FLAIR MRI.
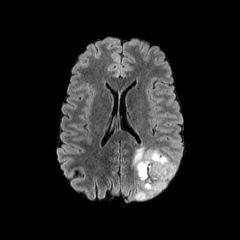
T1-weighted MR.
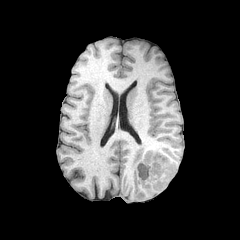
Post-contrast T1-weighted MRI.
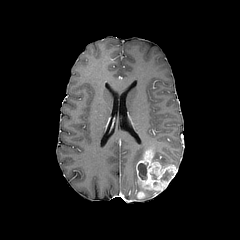
T2-weighted magnetic resonance.
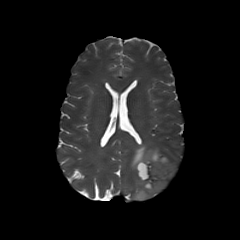
Axial slice | Brain
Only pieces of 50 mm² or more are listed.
The 2 largest necrotic tumor core regions are located at l=138, t=162, r=148, b=179; l=160, t=170, r=172, b=181. 2 enhancing tumor regions are bounded by l=136, t=150, r=176, b=191; l=136, t=191, r=145, b=198. The peritumoral edema lies within l=132, t=144, r=176, b=200.